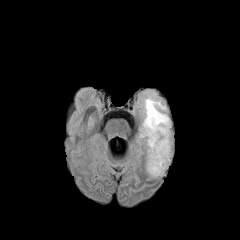
FLAIR MRI.
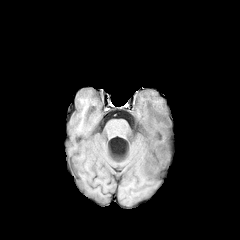
Same slice, T1-weighted MR image.
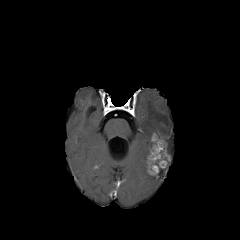
Post-contrast T1-weighted MR image of the same slice.
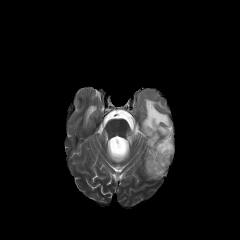
T2-weighted MR image.
Axial plane
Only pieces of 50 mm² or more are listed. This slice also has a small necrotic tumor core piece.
{
  "enhancing_tumor": [
    "region(147, 133, 170, 175)"
  ],
  "peritumoral_edema": [
    "region(139, 94, 172, 155)"
  ]
}